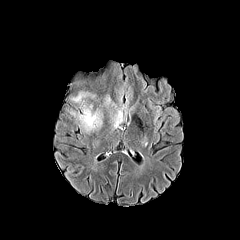
FLAIR MR image.
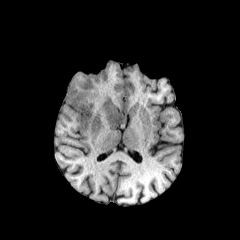
Same slice, T1-weighted MR.
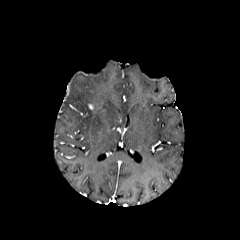
Same slice, post-contrast T1-weighted magnetic resonance.
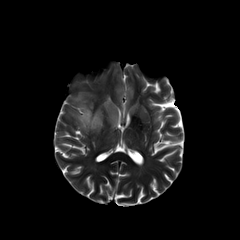
T2-weighted MR image of the same slice.
Brain
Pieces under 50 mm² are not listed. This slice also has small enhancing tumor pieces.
The 3 largest peritumoral edema regions are bounded by 77 109 101 131, 72 92 88 101, 112 111 122 126.